Image covers 240 mm x 240 mm
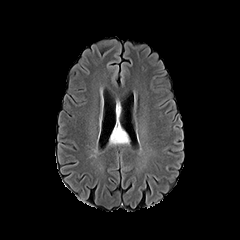
FLAIR MR.
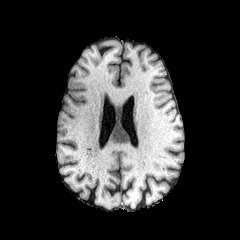
T1-weighted magnetic resonance.
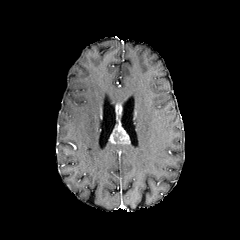
Post-contrast T1-weighted magnetic resonance of the same slice.
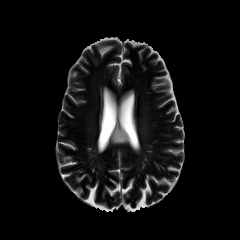
T2-weighted MRI.
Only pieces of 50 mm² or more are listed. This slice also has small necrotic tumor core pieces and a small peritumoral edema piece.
enhancing tumor — (110,123,129,143)